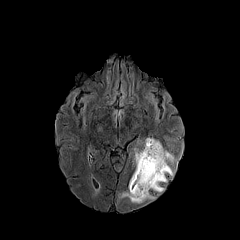
FLAIR magnetic resonance.
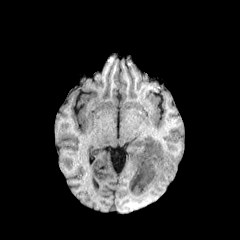
T1-weighted MR.
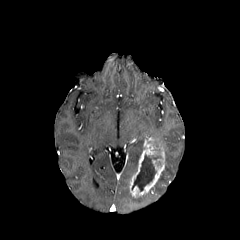
Post-contrast T1-weighted MR image.
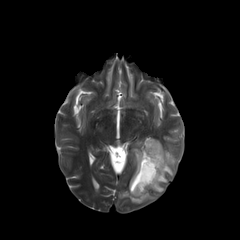
T2-weighted MR image.
240x240, Axial slice
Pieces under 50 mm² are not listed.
enhancing_tumor:
  - (129, 138, 165, 197)
necrotic_tumor_core:
  - (132, 154, 160, 191)
peritumoral_edema:
  - (133, 148, 142, 166)
  - (119, 188, 155, 202)
  - (152, 148, 177, 192)